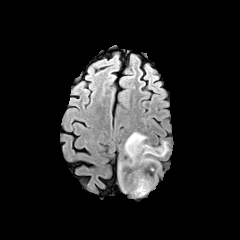
FLAIR MRI.
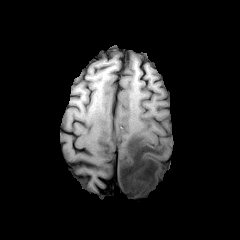
T1-weighted MR image of the same slice.
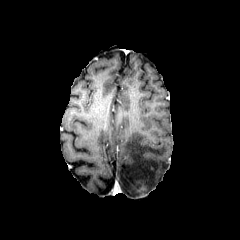
Post-contrast T1-weighted MR of the same slice.
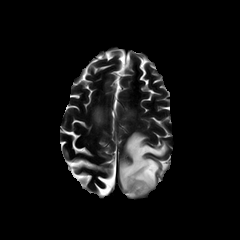
Same slice, T2-weighted magnetic resonance.
Axial view, 240x240
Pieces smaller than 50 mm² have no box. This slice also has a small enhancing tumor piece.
The peritumoral edema lies within left=118, top=132, right=167, bottom=196.